Axial plane. Image size 240x240.
FLAIR MR image.
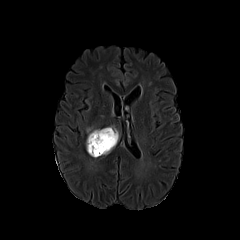
T1-weighted MR.
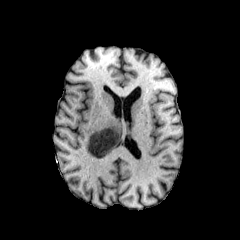
Post-contrast T1-weighted MR image.
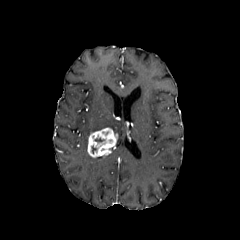
T2-weighted MRI.
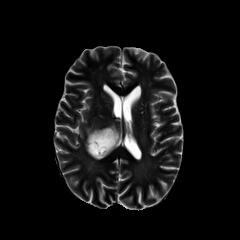
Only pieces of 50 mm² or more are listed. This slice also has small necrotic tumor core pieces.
enhancing tumor — [87, 128, 117, 157]
peritumoral edema — [106, 125, 119, 139], [86, 127, 101, 147]